FLAIR magnetic resonance.
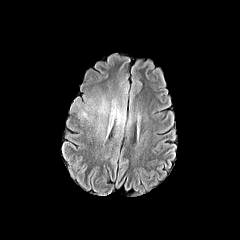
T1-weighted MR.
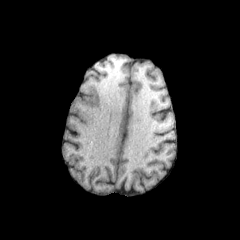
Post-contrast T1-weighted magnetic resonance.
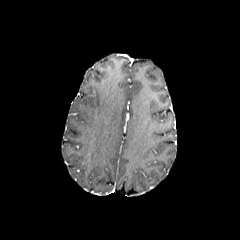
T2-weighted magnetic resonance.
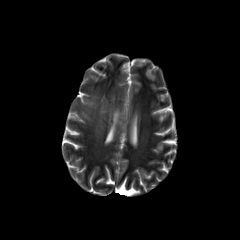
Image size 240x240
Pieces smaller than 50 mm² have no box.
The 2 largest peritumoral edema regions are located at (110, 106, 125, 128), (98, 101, 107, 113).